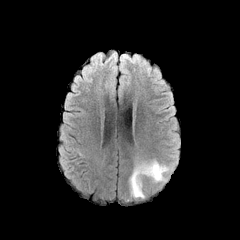
FLAIR magnetic resonance.
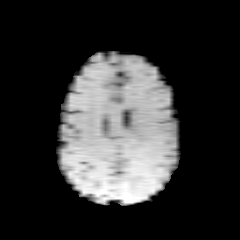
Same slice, T1-weighted MR image.
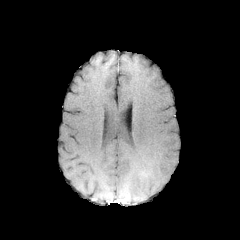
Post-contrast T1-weighted MR.
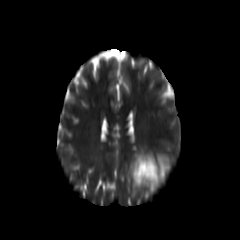
T2-weighted magnetic resonance of the same slice.
{"peritumoral_edema": ["l=129, t=157, r=170, b=198"]}